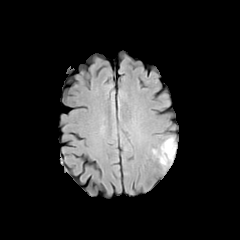
FLAIR MR.
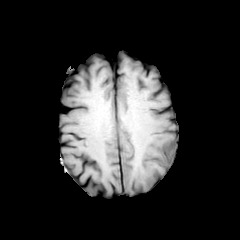
T1-weighted magnetic resonance.
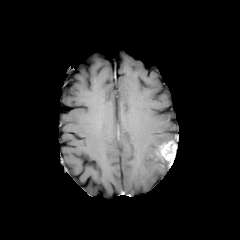
Post-contrast T1-weighted MR of the same slice.
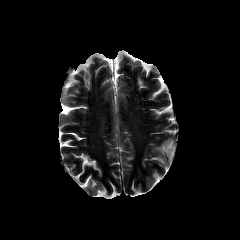
T2-weighted MR.
Axial plane, Brain
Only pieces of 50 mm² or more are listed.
enhancing_tumor:
  - {"x1": 159, "y1": 140, "x2": 176, "y2": 166}
peritumoral_edema:
  - {"x1": 152, "y1": 145, "x2": 168, "y2": 168}